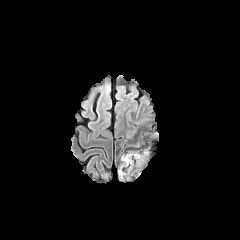
FLAIR MR.
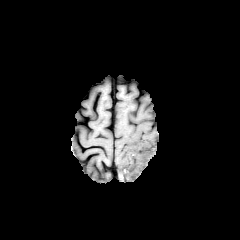
T1-weighted MRI of the same slice.
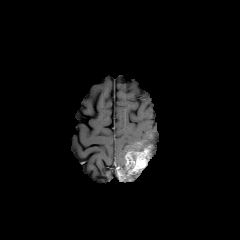
Post-contrast T1-weighted magnetic resonance of the same slice.
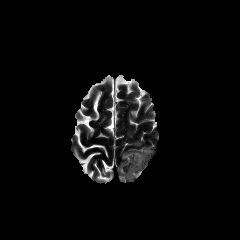
T2-weighted MRI.
Head; 240x240
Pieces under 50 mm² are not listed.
peritumoral edema: [119,155,125,173]
enhancing tumor: [118,146,150,180]